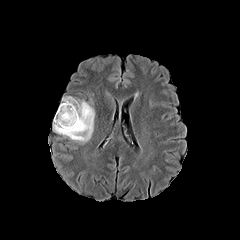
FLAIR MR.
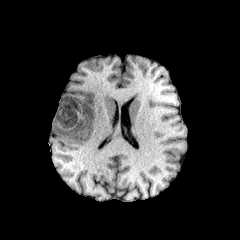
Same slice, T1-weighted MR image.
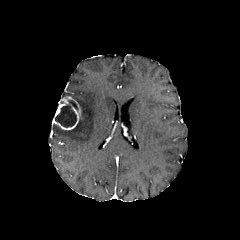
Post-contrast T1-weighted MR.
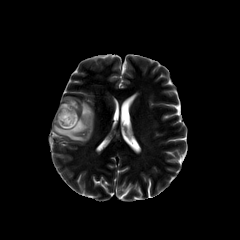
T2-weighted MR image.
Brain
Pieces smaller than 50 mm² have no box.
peritumoral_edema:
  - (53,99,94,143)
enhancing_tumor:
  - (53,96,81,130)
necrotic_tumor_core:
  - (55,105,76,127)